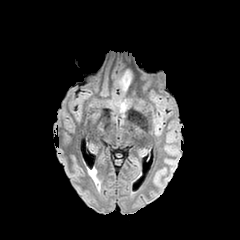
FLAIR MRI.
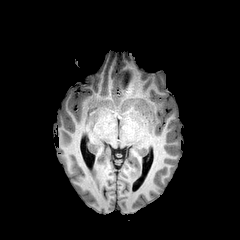
T1-weighted magnetic resonance.
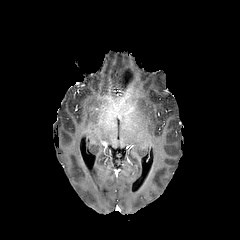
Post-contrast T1-weighted MRI.
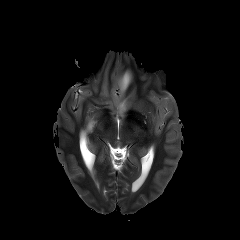
Same slice, T2-weighted MR image.
Axial slice; Head; 240x240 px
peritumoral_edema:
  - 120,101,127,115
  - 119,69,132,87